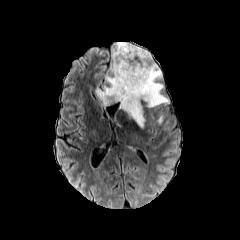
FLAIR MRI.
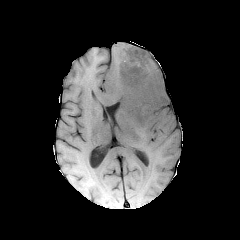
T1-weighted magnetic resonance.
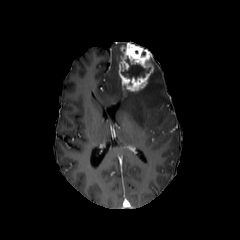
Same slice, post-contrast T1-weighted MRI.
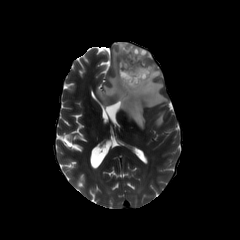
T2-weighted magnetic resonance of the same slice.
Axial plane
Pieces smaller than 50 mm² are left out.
The enhancing tumor lies within (118, 42, 153, 93). The largest necrotic tumor core region lies within (121, 57, 150, 78). 2 peritumoral edema regions appear at (96, 42, 168, 127), (156, 113, 163, 124).